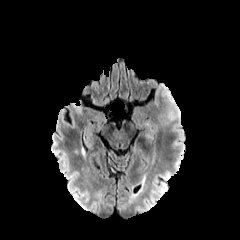
FLAIR MR image.
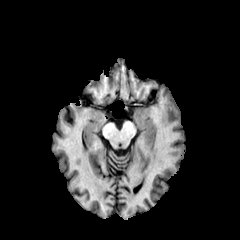
T1-weighted MR.
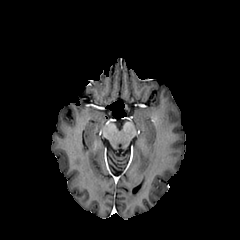
Post-contrast T1-weighted MRI.
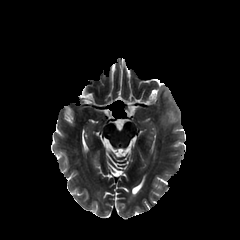
T2-weighted MR image of the same slice.
240x240 px, Axial view
Annotated regions:
• peritumoral edema: <bbox>161, 88, 179, 125</bbox>